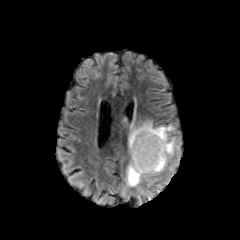
FLAIR MRI.
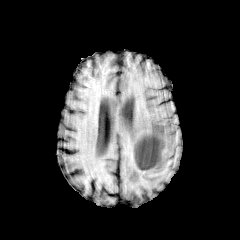
T1-weighted MR.
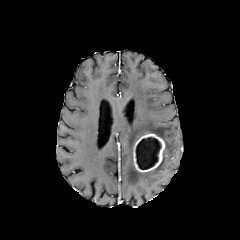
Post-contrast T1-weighted MRI.
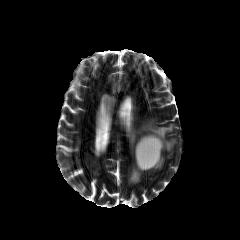
Same slice, T2-weighted MR image.
240x240 px | Head
* peritumoral edema: [x1=126, y1=121, x2=175, y2=186]
* enhancing tumor: [x1=133, y1=133, x2=165, y2=172]
* necrotic tumor core: [x1=136, y1=137, x2=161, y2=169]